Slice 15 of 155. Axial plane. Image covers 240 mm x 240 mm.
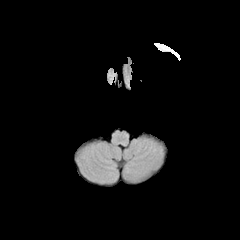
FLAIR MRI.
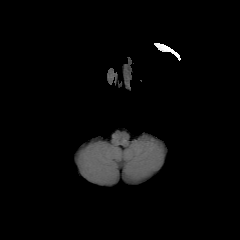
T1-weighted MR image.
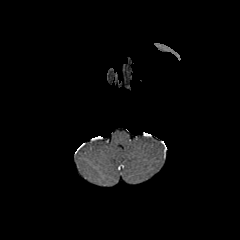
Post-contrast T1-weighted MRI.
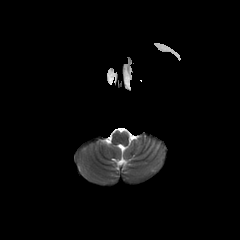
T2-weighted magnetic resonance.
peritumoral_edema:
  - x1=107, y1=68, x2=117, y2=84